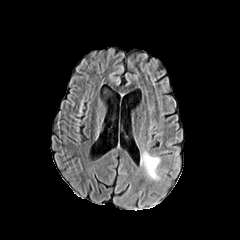
FLAIR magnetic resonance.
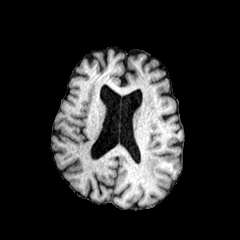
T1-weighted MRI of the same slice.
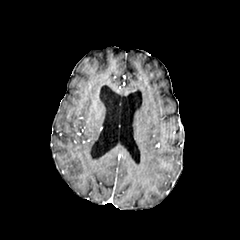
Post-contrast T1-weighted magnetic resonance.
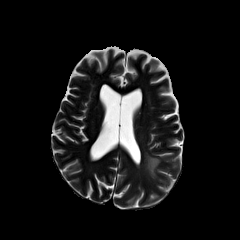
T2-weighted MR image of the same slice.
Brain. Axial slice.
The peritumoral edema lies within box=[141, 152, 159, 179].